Image width 240 mm, 1.00 mm slice spacing | 240x240 | Slice 116 of 155
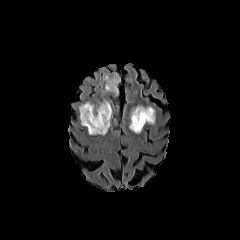
FLAIR MR.
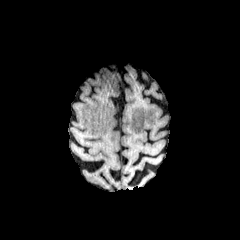
T1-weighted MR of the same slice.
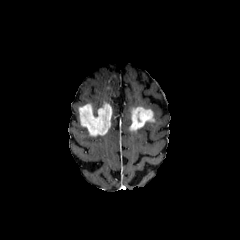
Post-contrast T1-weighted MR.
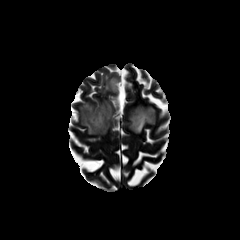
T2-weighted magnetic resonance.
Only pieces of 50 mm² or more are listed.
The 3 largest peritumoral edema regions appear at x1=143, y1=106, x2=155, y2=124; x1=100, y1=72, x2=120, y2=95; x1=91, y1=99, x2=109, y2=110. 2 enhancing tumor regions are bounded by x1=129, y1=107, x2=154, y2=131; x1=79, y1=102, x2=112, y2=136.